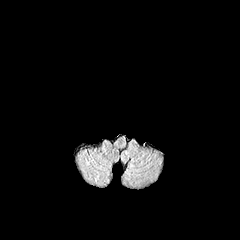
FLAIR MR.
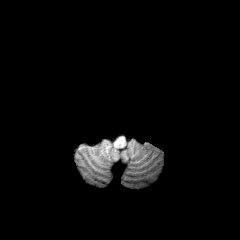
T1-weighted MR.
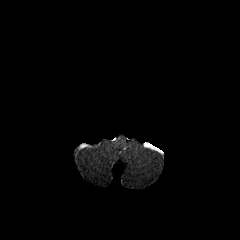
Post-contrast T1-weighted MR image.
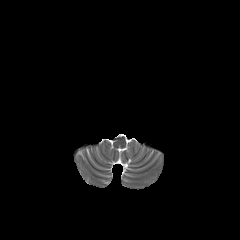
T2-weighted MRI of the same slice.
Head
The peritumoral edema is bounded by box=[92, 150, 101, 159].